Brain | Axial view
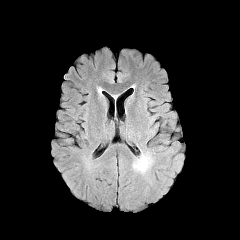
FLAIR MRI.
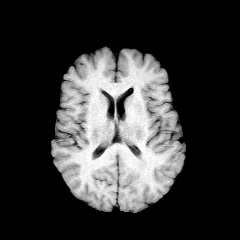
T1-weighted MR image.
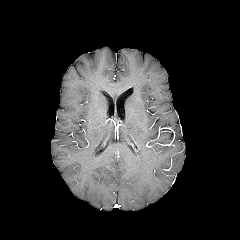
Post-contrast T1-weighted MR.
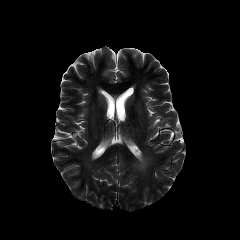
T2-weighted MR image.
peritumoral edema: [134,155,148,171]